Image size 240x240
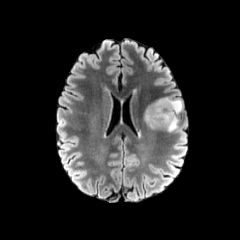
FLAIR MRI.
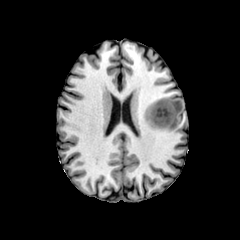
Same slice, T1-weighted MR image.
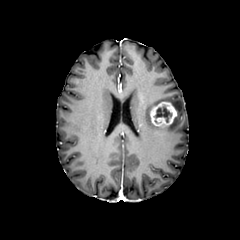
Same slice, post-contrast T1-weighted MRI.
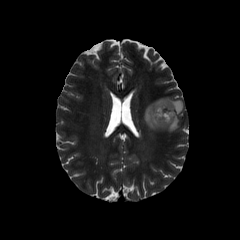
Same slice, T2-weighted magnetic resonance.
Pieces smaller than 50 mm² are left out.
Findings:
• necrotic tumor core: box(155, 106, 171, 122)
• enhancing tumor: box(150, 101, 177, 127)
• peritumoral edema: box(162, 115, 179, 131); box(144, 97, 183, 129)